Image width 240 mm, Slice 37 of 155, Axial plane
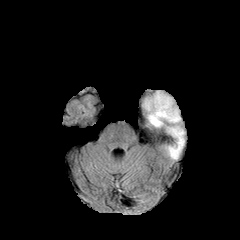
FLAIR magnetic resonance.
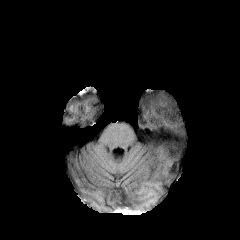
T1-weighted MRI.
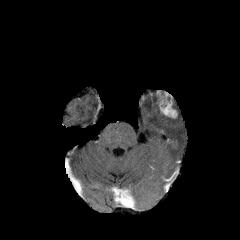
Post-contrast T1-weighted MRI.
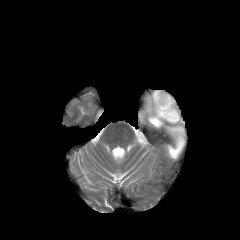
T2-weighted magnetic resonance.
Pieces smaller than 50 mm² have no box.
The enhancing tumor is bounded by rect(156, 90, 177, 118). The largest peritumoral edema region lies within rect(143, 92, 184, 159).